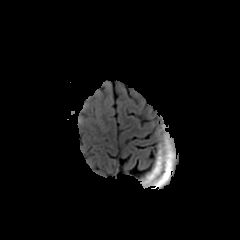
FLAIR MRI.
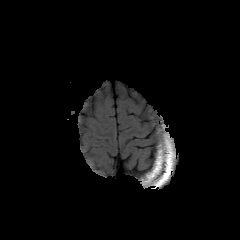
T1-weighted magnetic resonance of the same slice.
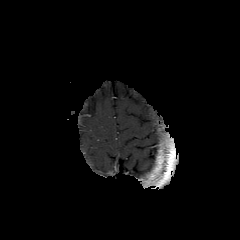
Same slice, post-contrast T1-weighted MR image.
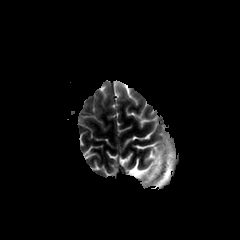
T2-weighted magnetic resonance of the same slice.
Image size 240x240
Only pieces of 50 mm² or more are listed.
peritumoral edema at l=78, t=115, r=84, b=125